Brain
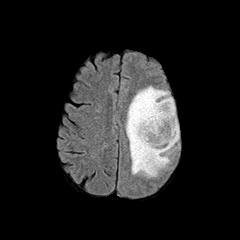
FLAIR magnetic resonance.
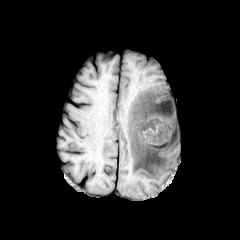
T1-weighted MR.
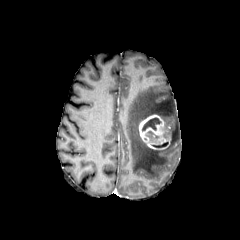
Post-contrast T1-weighted MRI.
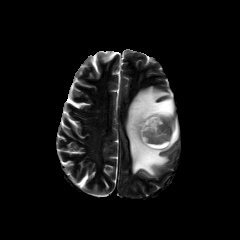
T2-weighted magnetic resonance.
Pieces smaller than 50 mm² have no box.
The largest peritumoral edema region lies within 126,86,179,177. The enhancing tumor lies within 139,114,170,149. 2 necrotic tumor core regions appear at 152,142,168,147; 142,118,160,130.